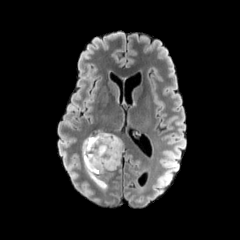
FLAIR MRI.
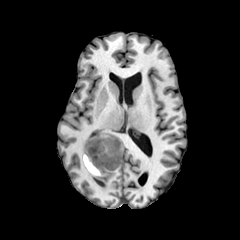
T1-weighted MR image.
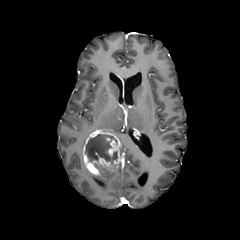
Post-contrast T1-weighted MR image.
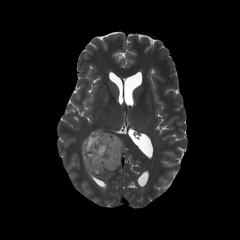
T2-weighted magnetic resonance of the same slice.
Axial slice; 240x240
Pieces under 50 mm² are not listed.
Segmented structures:
- enhancing tumor: x1=82 y1=131 x2=121 y2=175
- peritumoral edema: x1=85 y1=167 x2=113 y2=188, x1=116 y1=135 x2=124 y2=154
- necrotic tumor core: x1=85 y1=134 x2=117 y2=163